Head; 240x240 px
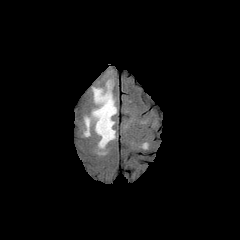
FLAIR MR.
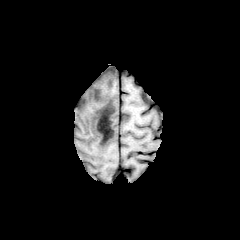
T1-weighted MR.
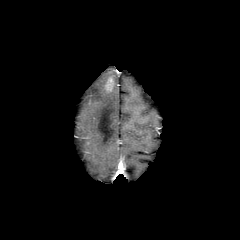
Post-contrast T1-weighted MR image.
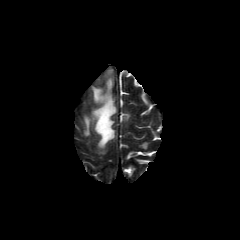
T2-weighted magnetic resonance.
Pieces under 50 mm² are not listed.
<segmentation>
  <enhancing_tumor>[x1=105, y1=76, x2=113, y2=90]</enhancing_tumor>
  <peritumoral_edema>[x1=84, y1=85, x2=117, y2=149], [x1=105, y1=70, x2=113, y2=84]</peritumoral_edema>
</segmentation>